Slice 126/155 | Head
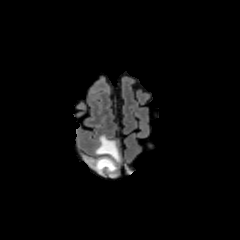
FLAIR MR image.
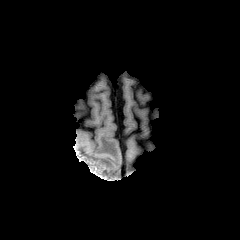
Same slice, T1-weighted MRI.
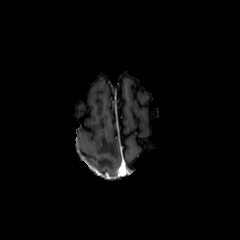
Same slice, post-contrast T1-weighted MRI.
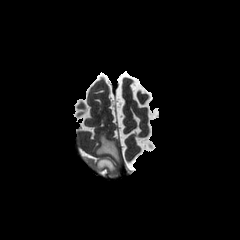
T2-weighted MR of the same slice.
2 peritumoral edema regions appear at 85, 156, 116, 176; 95, 135, 119, 162.